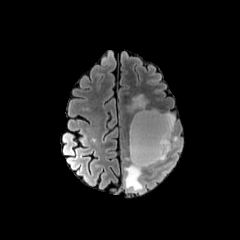
FLAIR MRI.
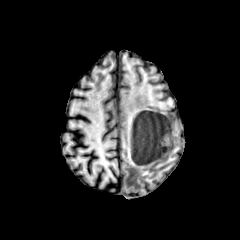
T1-weighted MRI.
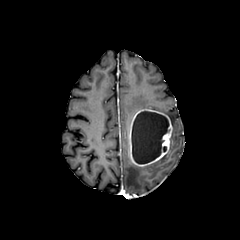
Post-contrast T1-weighted magnetic resonance.
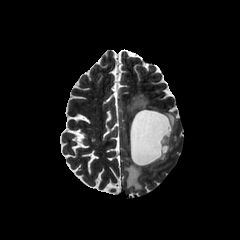
T2-weighted MR.
Axial view; Image size 240x240
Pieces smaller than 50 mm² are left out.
necrotic tumor core: bounding box (131,111,168,163)
enhancing tumor: bounding box (129,109,172,166)
peritumoral edema: bounding box (125,94,149,113), (124,162,143,191), (166,113,175,130)